Axial view
FLAIR magnetic resonance.
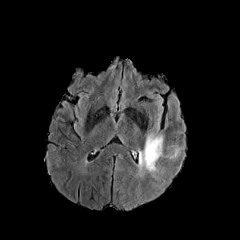
T1-weighted MR image.
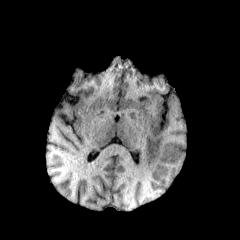
Post-contrast T1-weighted MR.
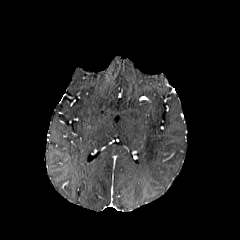
T2-weighted MR.
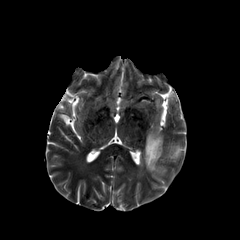
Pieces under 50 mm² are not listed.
Annotated regions:
* peritumoral edema: bbox=[144, 133, 162, 171]